FLAIR magnetic resonance.
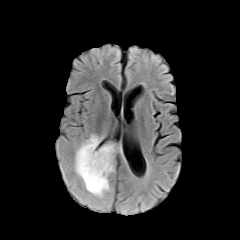
T1-weighted MR image.
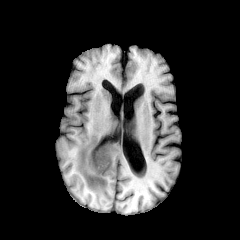
Post-contrast T1-weighted MR image.
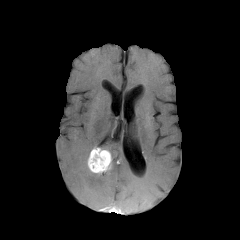
T2-weighted MR.
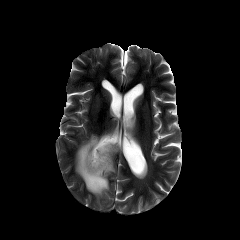
Brain
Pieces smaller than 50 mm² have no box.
The enhancing tumor is bounded by bbox(87, 146, 111, 174). The largest peritumoral edema region is at bbox(74, 134, 122, 198).